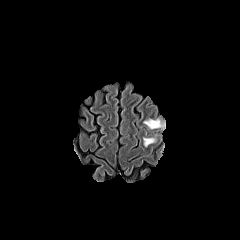
FLAIR magnetic resonance.
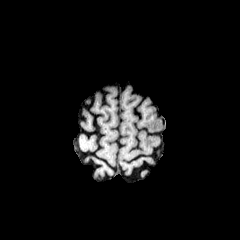
T1-weighted magnetic resonance.
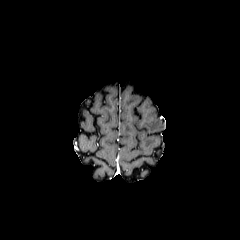
Same slice, post-contrast T1-weighted MRI.
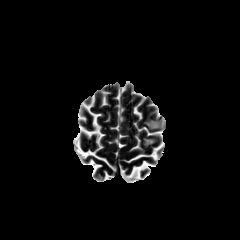
T2-weighted MRI.
Head
peritumoral_edema:
  - bbox=[143, 138, 155, 146]
  - bbox=[144, 119, 163, 129]